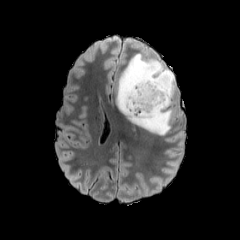
FLAIR MR image.
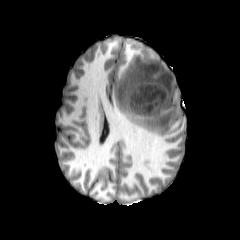
T1-weighted magnetic resonance.
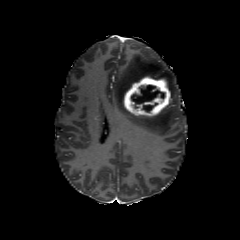
Same slice, post-contrast T1-weighted MR image.
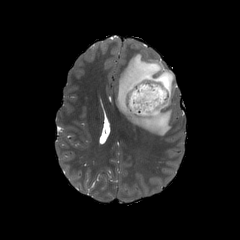
T2-weighted MR.
Axial view
enhancing_tumor:
  - 122, 75, 170, 116
peritumoral_edema:
  - 116, 53, 177, 135
necrotic_tumor_core:
  - 131, 85, 165, 107
  - 142, 103, 157, 112